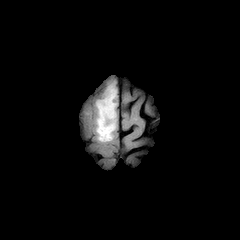
FLAIR MR image.
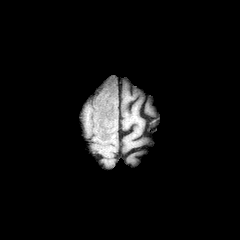
Same slice, T1-weighted MR.
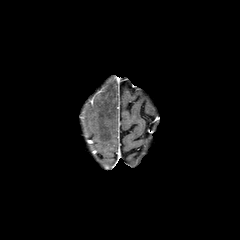
Post-contrast T1-weighted MRI.
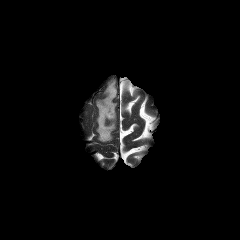
T2-weighted magnetic resonance.
Brain, Axial plane
{"peritumoral_edema": [{"x1": 96, "y1": 83, "x2": 116, "y2": 141}]}